FLAIR magnetic resonance.
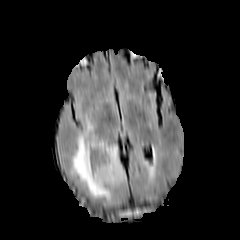
T1-weighted MRI.
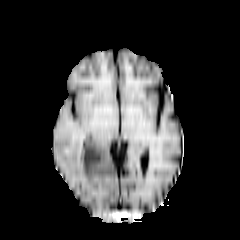
Post-contrast T1-weighted MRI.
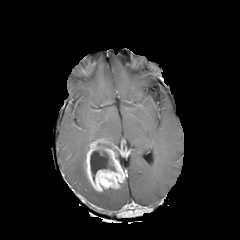
T2-weighted MR image.
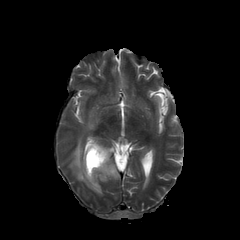
Axial slice. Head.
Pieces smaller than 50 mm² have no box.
The largest peritumoral edema region appears at {"x1": 71, "y1": 123, "x2": 111, "y2": 200}. The largest necrotic tumor core region lies within {"x1": 90, "y1": 150, "x2": 112, "y2": 181}. The enhancing tumor is at {"x1": 84, "y1": 139, "x2": 125, "y2": 191}.